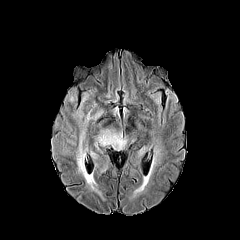
FLAIR MR.
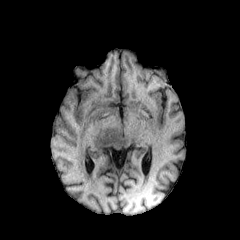
T1-weighted MRI.
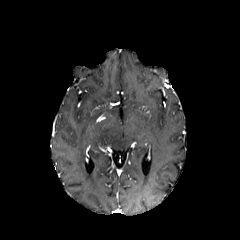
Same slice, post-contrast T1-weighted MRI.
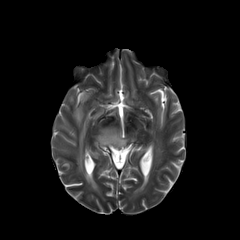
T2-weighted magnetic resonance.
Brain; Image size 240x240; Axial plane
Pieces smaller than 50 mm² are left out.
peritumoral_edema:
  - (95,127,127,151)
  - (76,112,95,188)